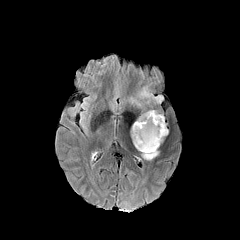
FLAIR magnetic resonance.
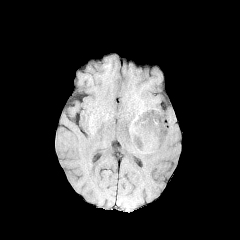
T1-weighted MRI.
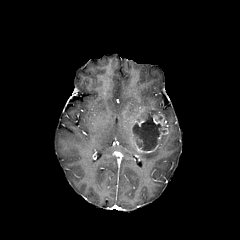
Same slice, post-contrast T1-weighted MR.
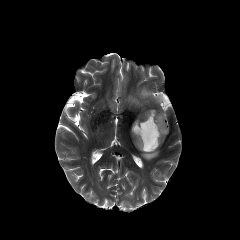
T2-weighted magnetic resonance.
Image size 240x240; Head
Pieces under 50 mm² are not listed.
necrotic_tumor_core:
  - x1=133, y1=115, x2=161, y2=150
enhancing_tumor:
  - x1=133, y1=116, x2=146, y2=127
  - x1=148, y1=112, x2=168, y2=143
  - x1=132, y1=128, x2=158, y2=152
peritumoral_edema:
  - x1=137, y1=110, x2=158, y2=120
  - x1=139, y1=87, x2=163, y2=103
  - x1=141, y1=148, x2=158, y2=160